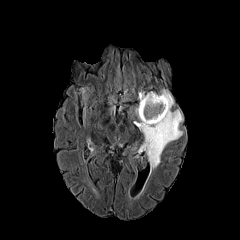
FLAIR magnetic resonance.
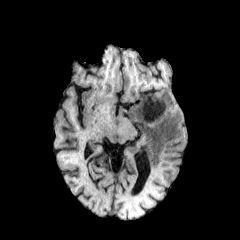
T1-weighted MR image.
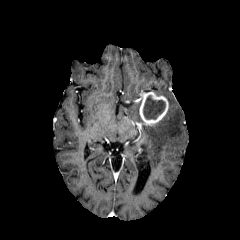
Post-contrast T1-weighted MR.
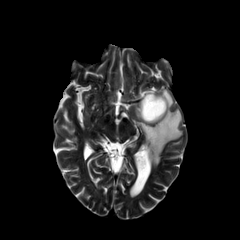
T2-weighted magnetic resonance.
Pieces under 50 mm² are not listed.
necrotic tumor core: 143,96,165,119
enhancing tumor: 139,92,168,125
peritumoral edema: 134,89,183,170